Head; Slice index 136; Axial plane
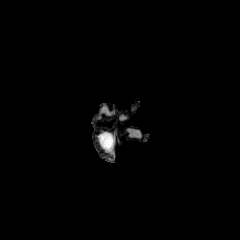
FLAIR MR image.
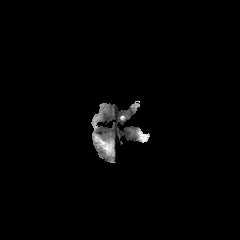
T1-weighted magnetic resonance of the same slice.
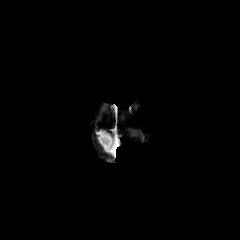
Post-contrast T1-weighted MR of the same slice.
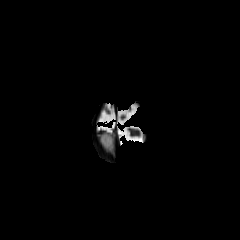
T2-weighted magnetic resonance.
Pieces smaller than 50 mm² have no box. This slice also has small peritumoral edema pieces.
The enhancing tumor lies within rect(99, 134, 113, 151).